Axial plane | Slice index 122 | Brain
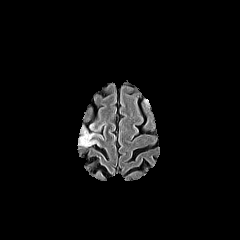
FLAIR magnetic resonance.
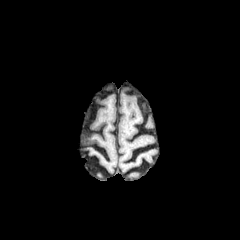
T1-weighted MR.
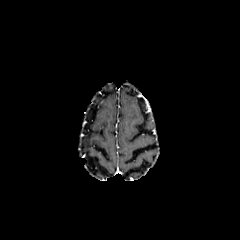
Post-contrast T1-weighted MR of the same slice.
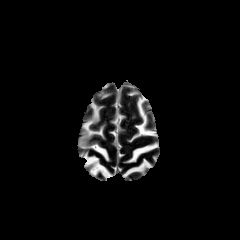
T2-weighted MRI.
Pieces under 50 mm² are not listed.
The largest peritumoral edema region is at bbox(81, 129, 96, 147).